FLAIR MR.
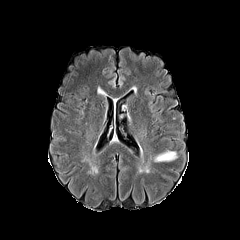
T1-weighted MR.
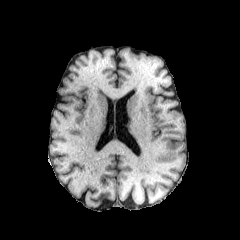
Post-contrast T1-weighted MRI.
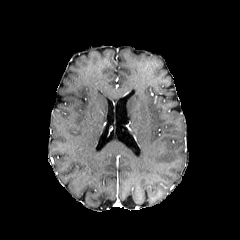
T2-weighted MRI.
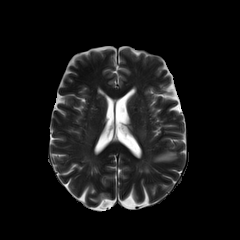
peritumoral edema: box(154, 150, 177, 161)